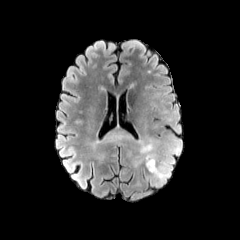
FLAIR MR image.
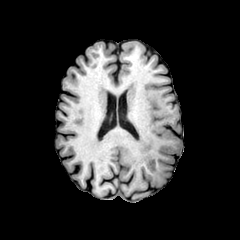
T1-weighted magnetic resonance.
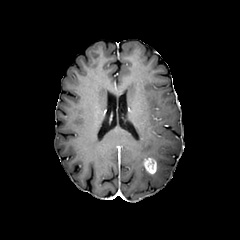
Post-contrast T1-weighted MRI.
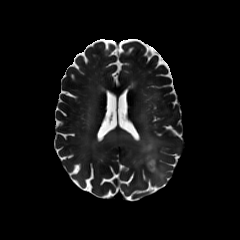
T2-weighted MRI.
Head. 240x240 px.
enhancing_tumor:
  - 144:158:156:173
peritumoral_edema:
  - 134:138:159:165
  - 150:164:168:183